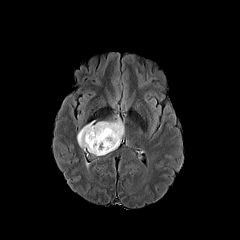
FLAIR magnetic resonance.
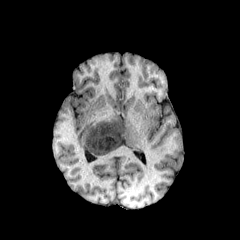
T1-weighted magnetic resonance.
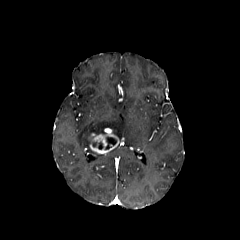
Post-contrast T1-weighted magnetic resonance.
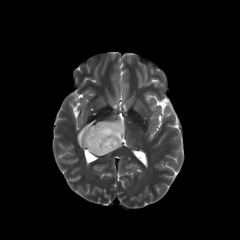
T2-weighted MRI.
Brain
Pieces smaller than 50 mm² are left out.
<segmentation>
  <peritumoral_edema>{"x1": 77, "y1": 116, "x2": 124, "y2": 156}</peritumoral_edema>
  <necrotic_tumor_core>{"x1": 105, "y1": 137, "x2": 116, "y2": 149}</necrotic_tumor_core>
  <enhancing_tumor>{"x1": 88, "y1": 128, "x2": 120, "y2": 154}</enhancing_tumor>
</segmentation>